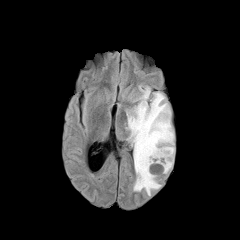
FLAIR MR.
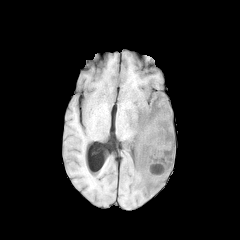
T1-weighted magnetic resonance of the same slice.
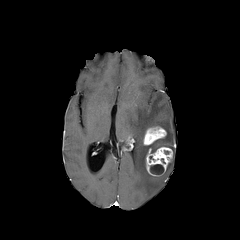
Same slice, post-contrast T1-weighted MR.
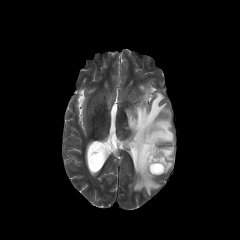
T2-weighted MR image.
Axial plane.
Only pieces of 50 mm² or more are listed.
enhancing tumor: bbox=[143, 126, 166, 145]; bbox=[146, 147, 172, 175]
necrotic tumor core: bbox=[150, 164, 163, 174]
peritumoral edema: bbox=[127, 88, 174, 195]